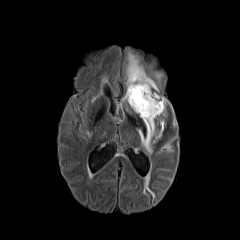
FLAIR MR.
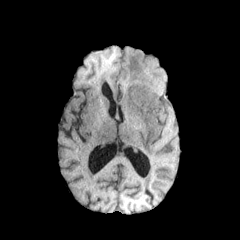
T1-weighted MRI.
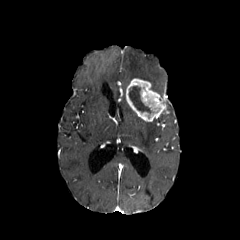
Post-contrast T1-weighted MR of the same slice.
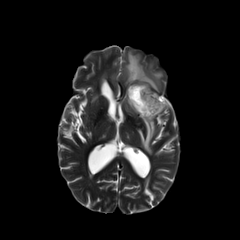
Same slice, T2-weighted MR image.
240x240 px, Axial view
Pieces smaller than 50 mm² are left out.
Annotated regions:
• necrotic tumor core: (129,86,153,114)
• enhancing tumor: (125,78,167,121)
• peritumoral edema: (125,51,162,92), (138,118,162,154)